FLAIR MR.
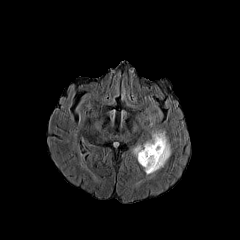
T1-weighted magnetic resonance.
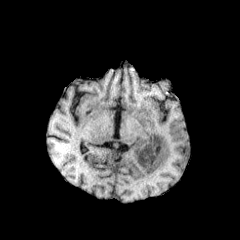
Post-contrast T1-weighted MR.
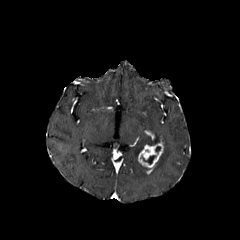
T2-weighted MR.
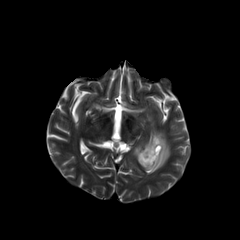
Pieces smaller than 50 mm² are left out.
necrotic tumor core at bbox=[141, 155, 156, 164]
peritumoral edema at bbox=[132, 129, 171, 173]
enhancing tumor at bbox=[138, 139, 163, 173]